FLAIR magnetic resonance.
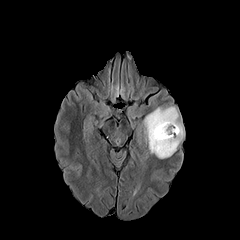
T1-weighted MRI.
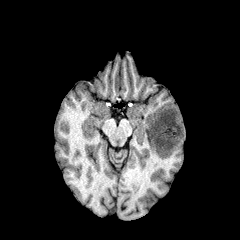
Post-contrast T1-weighted MRI.
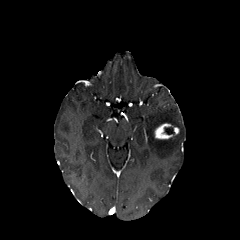
T2-weighted MRI.
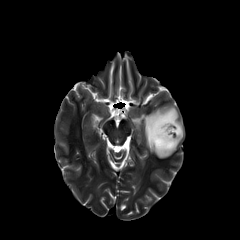
Head | Axial slice
The necrotic tumor core is bounded by [x1=164, y1=127, x2=174, y2=134]. The peritumoral edema is bounded by [x1=144, y1=106, x2=184, y2=158]. The enhancing tumor is bounded by [x1=154, y1=123, x2=179, y2=139].